Axial slice | Image covers 240 mm x 240 mm | Head
FLAIR MR.
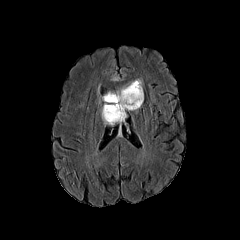
T1-weighted magnetic resonance.
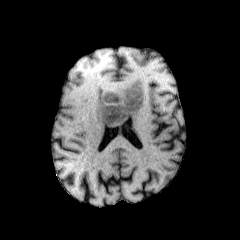
Post-contrast T1-weighted MRI.
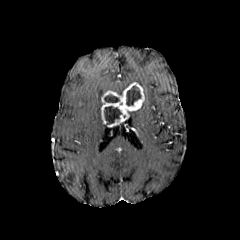
T2-weighted MR image.
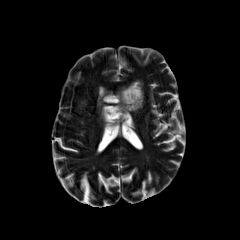
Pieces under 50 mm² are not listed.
<segmentation>
  <peritumoral_edema>box(117, 79, 143, 93)</peritumoral_edema>
  <enhancing_tumor>box(101, 82, 144, 126)</enhancing_tumor>
  <necrotic_tumor_core>box(104, 106, 121, 123); box(104, 95, 119, 102); box(126, 86, 140, 105)</necrotic_tumor_core>
</segmentation>